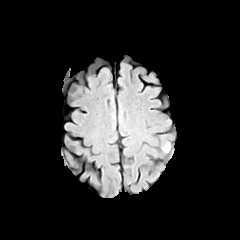
FLAIR magnetic resonance.
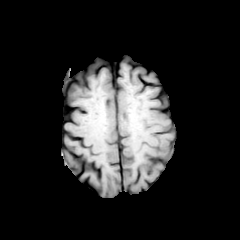
T1-weighted MR image.
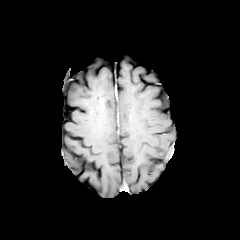
Post-contrast T1-weighted MR.
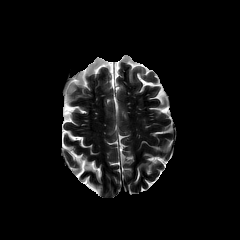
T2-weighted MR image of the same slice.
Axial view; Brain
peritumoral edema — left=163, top=143, right=170, bottom=152